Head. Image width 240 mm.
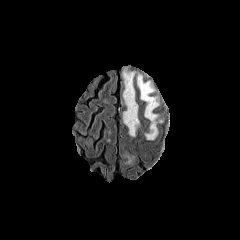
FLAIR MRI.
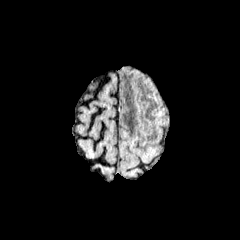
T1-weighted MRI of the same slice.
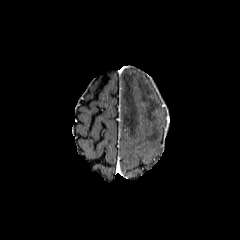
Post-contrast T1-weighted magnetic resonance of the same slice.
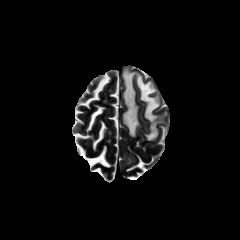
T2-weighted MR image.
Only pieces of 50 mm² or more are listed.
- peritumoral edema: rect(137, 74, 159, 140); rect(125, 154, 133, 164); rect(122, 69, 139, 136)